Head | Axial slice
FLAIR MR.
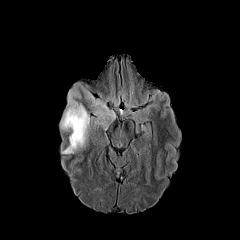
T1-weighted magnetic resonance.
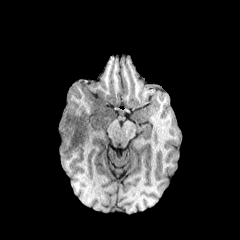
Post-contrast T1-weighted MR image.
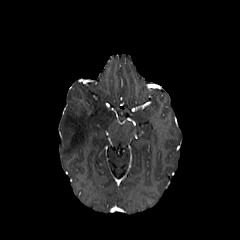
T2-weighted MR.
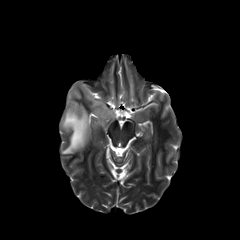
peritumoral_edema:
  - (left=60, top=87, right=91, bottom=153)
  - (left=85, top=90, right=113, bottom=125)